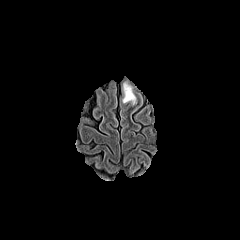
FLAIR MR.
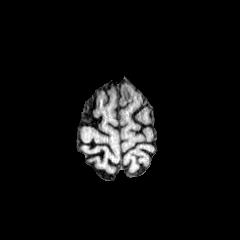
T1-weighted magnetic resonance.
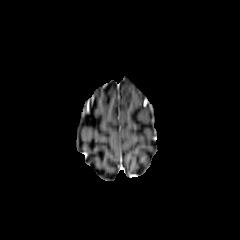
Post-contrast T1-weighted MR of the same slice.
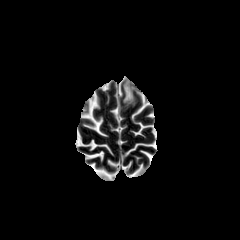
T2-weighted magnetic resonance of the same slice.
Image size 240x240; Axial slice; Head
- peritumoral edema: box(123, 83, 135, 104)